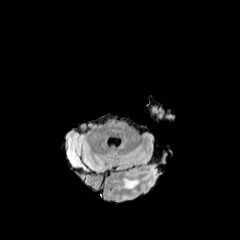
FLAIR MR image.
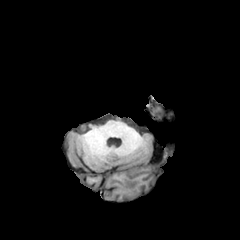
T1-weighted MR.
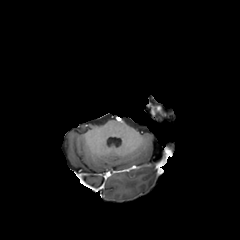
Post-contrast T1-weighted MR.
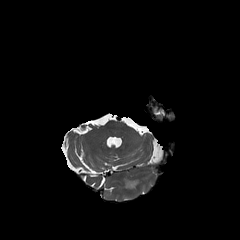
Same slice, T2-weighted magnetic resonance.
Head. 240x240.
peritumoral edema: bounding box box(123, 178, 139, 190)